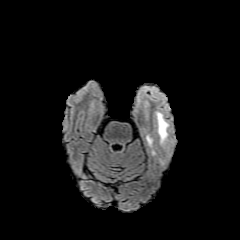
FLAIR MR.
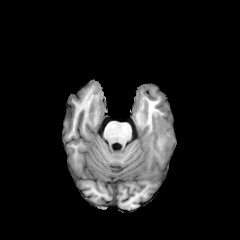
T1-weighted MR image.
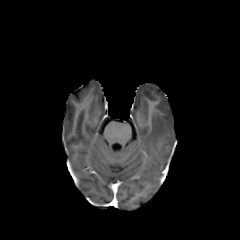
Post-contrast T1-weighted MR image.
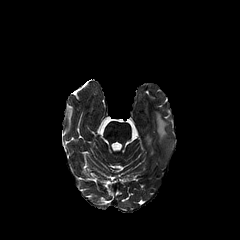
T2-weighted MRI.
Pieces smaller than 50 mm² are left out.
peritumoral edema = 146 135 152 145, 156 112 168 143